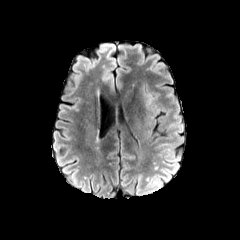
FLAIR magnetic resonance.
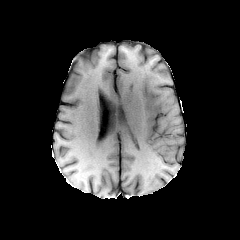
Same slice, T1-weighted magnetic resonance.
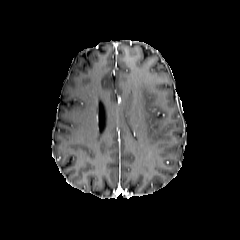
Same slice, post-contrast T1-weighted MR image.
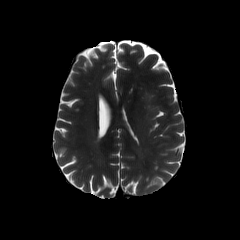
T2-weighted MRI of the same slice.
Axial plane
The peritumoral edema appears at bbox(143, 90, 158, 135).